FLAIR MR.
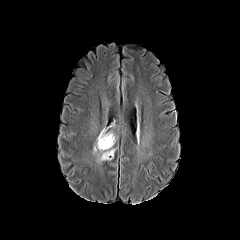
T1-weighted MR image.
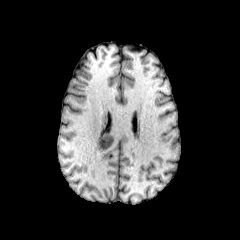
Post-contrast T1-weighted MRI.
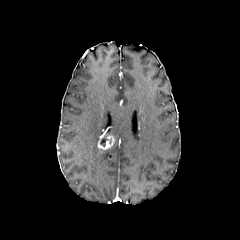
T2-weighted MR.
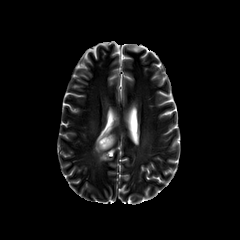
Head, Axial plane
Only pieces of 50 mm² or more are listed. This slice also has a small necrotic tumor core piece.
<segmentation>
  <enhancing_tumor>box=[97, 135, 114, 149]</enhancing_tumor>
  <peritumoral_edema>box=[94, 137, 114, 161]</peritumoral_edema>
</segmentation>